240x240
FLAIR MRI.
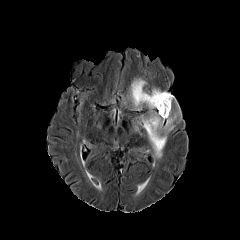
T1-weighted MRI.
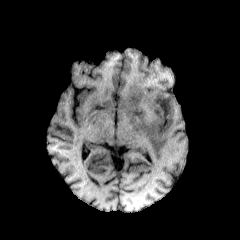
Post-contrast T1-weighted MR.
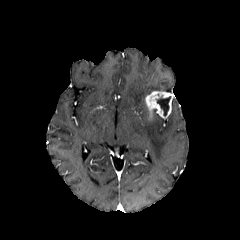
T2-weighted MR.
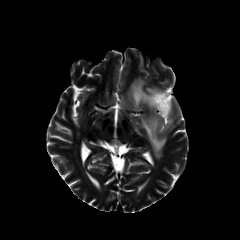
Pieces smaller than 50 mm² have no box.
enhancing tumor at box=[145, 91, 173, 119]
peritumoral edema at box=[129, 78, 149, 109]; box=[141, 111, 179, 158]
necrotic tumor core at box=[157, 96, 170, 115]